FLAIR magnetic resonance.
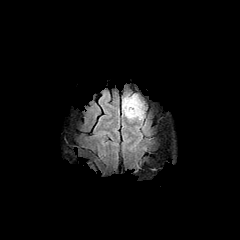
T1-weighted magnetic resonance.
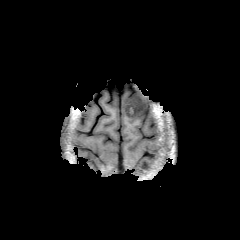
Post-contrast T1-weighted magnetic resonance.
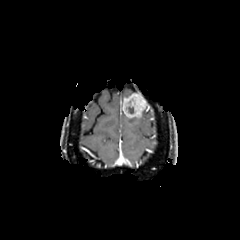
T2-weighted MR.
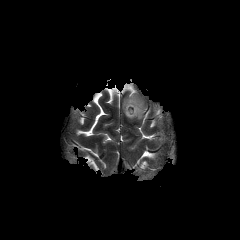
Head; Axial slice
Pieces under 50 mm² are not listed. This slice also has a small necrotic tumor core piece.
enhancing tumor: bounding box 122,93,146,117
peritumoral edema: bounding box 128,110,144,120